Brain | Slice 89 of 155 | Image width 240 mm, 1.00 mm slice spacing
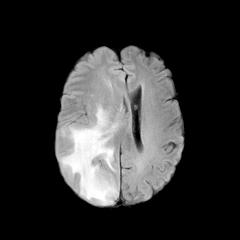
FLAIR MRI.
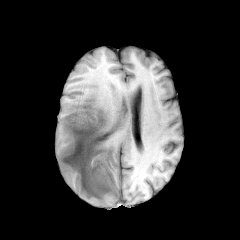
T1-weighted MR.
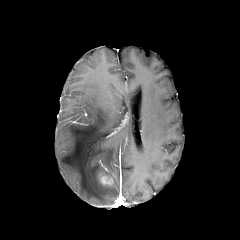
Post-contrast T1-weighted MRI.
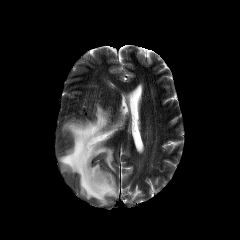
T2-weighted magnetic resonance of the same slice.
The peritumoral edema appears at (59,105,120,204). The enhancing tumor is located at (99,173,113,185).